FLAIR MR image.
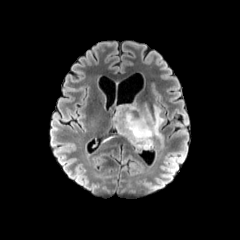
T1-weighted MR.
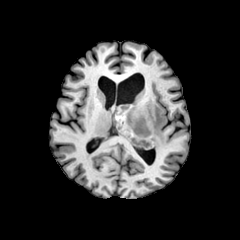
Post-contrast T1-weighted MR.
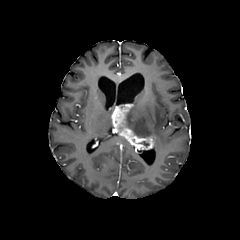
T2-weighted MRI.
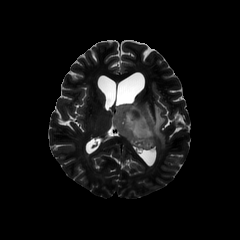
Brain. 240x240.
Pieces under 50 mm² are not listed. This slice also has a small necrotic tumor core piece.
enhancing tumor: bounding box (112, 104, 153, 149)
peritumoral edema: bounding box (125, 103, 164, 145)